240x240 px. Brain. Axial plane. Slice index 38.
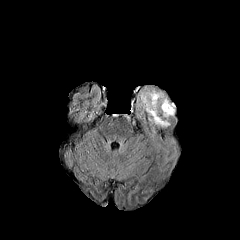
FLAIR MRI.
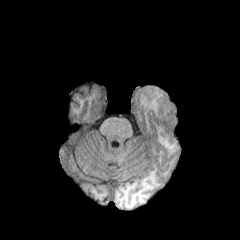
T1-weighted MR.
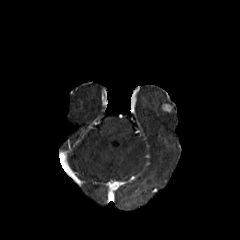
Post-contrast T1-weighted magnetic resonance.
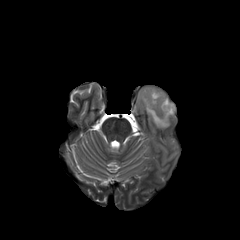
Same slice, T2-weighted MR.
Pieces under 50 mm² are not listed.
The largest peritumoral edema region is at 139,88,175,127. The enhancing tumor appears at 161,103,173,112.